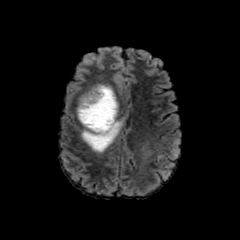
FLAIR MRI.
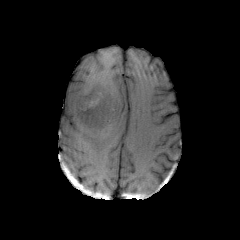
Same slice, T1-weighted magnetic resonance.
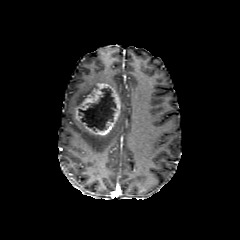
Post-contrast T1-weighted MRI of the same slice.
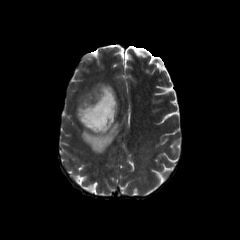
T2-weighted magnetic resonance.
2 peritumoral edema regions are bounded by [78, 84, 96, 105], [81, 118, 124, 153]. The enhancing tumor is bounded by [75, 83, 120, 136]. The necrotic tumor core is located at [79, 88, 116, 131].